FLAIR magnetic resonance.
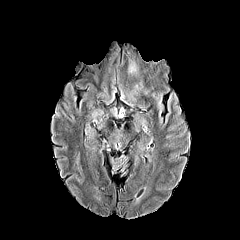
T1-weighted MRI.
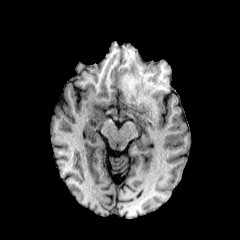
Post-contrast T1-weighted magnetic resonance.
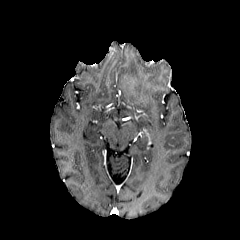
T2-weighted magnetic resonance.
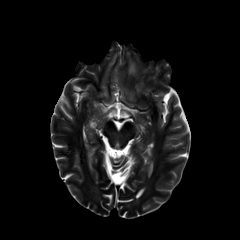
240x240 px.
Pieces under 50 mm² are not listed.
{
  "peritumoral_edema": [
    "(129, 62, 136, 73)"
  ]
}